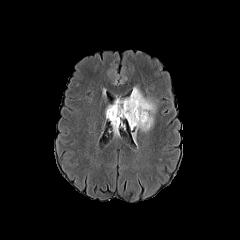
FLAIR MR.
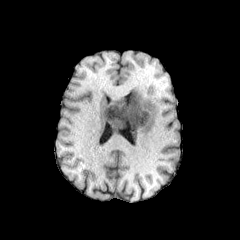
T1-weighted MR image.
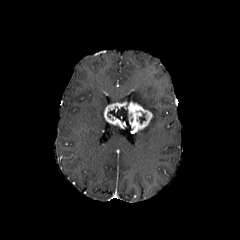
Post-contrast T1-weighted MR image of the same slice.
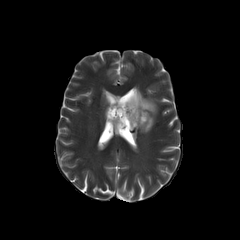
T2-weighted MR image.
Head
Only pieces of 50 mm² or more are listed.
The largest enhancing tumor region lies within x1=104, y1=101, x2=152, y2=132. The 2 largest peritumoral edema regions appear at x1=114, y1=87, x2=155, y2=115; x1=140, y1=118, x2=153, y2=131. The largest necrotic tumor core region appears at x1=108, y1=107, x2=128, y2=122.